Axial plane. Slice index 75. Head.
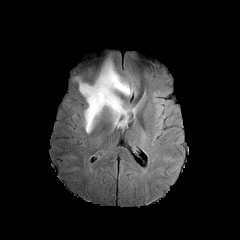
FLAIR MR image.
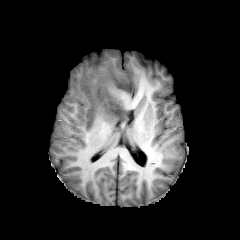
Same slice, T1-weighted MR image.
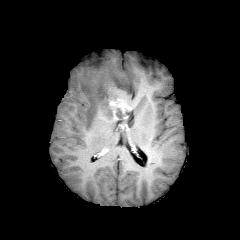
Post-contrast T1-weighted magnetic resonance.
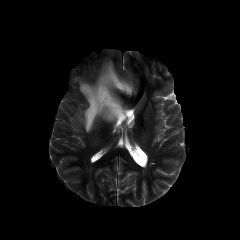
T2-weighted MR.
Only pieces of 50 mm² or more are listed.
necrotic tumor core at rect(116, 108, 128, 119)
peritumoral edema at rect(76, 61, 134, 132); rect(118, 117, 128, 126)
enhancing tumor at rect(108, 97, 131, 120)